FLAIR MR image.
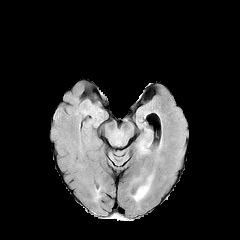
T1-weighted MR image.
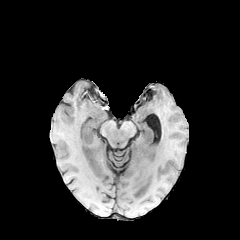
Post-contrast T1-weighted magnetic resonance.
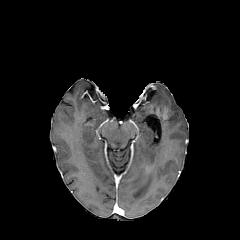
T2-weighted magnetic resonance.
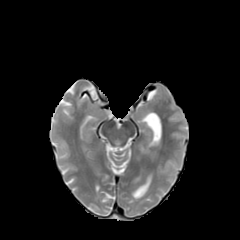
Axial plane
2 peritumoral edema regions are located at <box>139,143,147,153</box>, <box>133,175,152,200</box>.